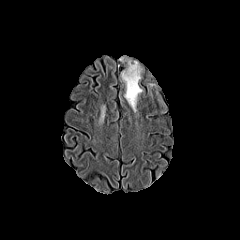
FLAIR MR image.
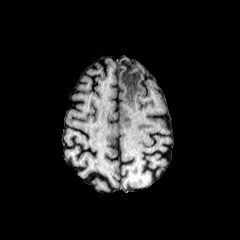
T1-weighted MR image.
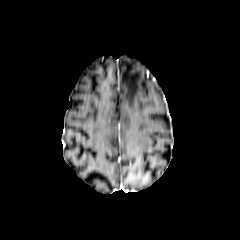
Post-contrast T1-weighted MRI.
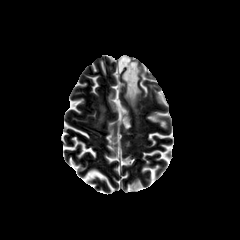
T2-weighted magnetic resonance.
Axial slice. Brain.
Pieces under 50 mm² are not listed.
The largest peritumoral edema region is at (120,57,142,111).